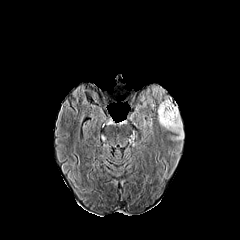
FLAIR MR.
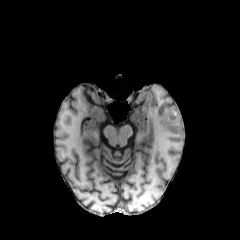
T1-weighted MRI of the same slice.
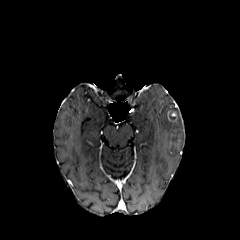
Same slice, post-contrast T1-weighted MR image.
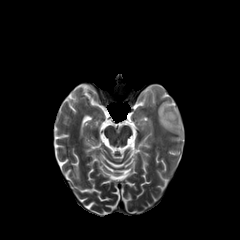
T2-weighted MR image of the same slice.
Axial slice.
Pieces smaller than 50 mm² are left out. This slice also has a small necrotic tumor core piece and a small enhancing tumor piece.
peritumoral edema = {"x1": 158, "y1": 98, "x2": 183, "y2": 140}